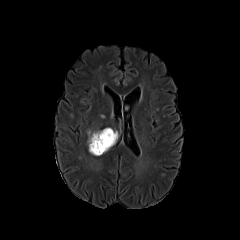
FLAIR magnetic resonance.
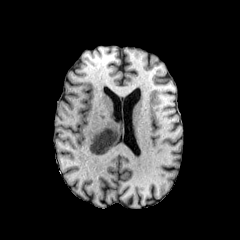
T1-weighted MRI.
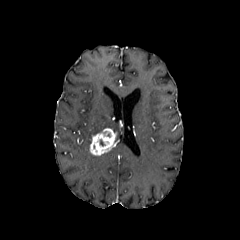
Post-contrast T1-weighted magnetic resonance.
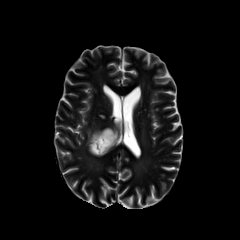
Same slice, T2-weighted magnetic resonance.
Brain; Axial view; Image size 240x240
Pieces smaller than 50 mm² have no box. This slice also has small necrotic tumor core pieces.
The largest peritumoral edema region lies within (x1=87, y1=129, x2=102, y2=151). The enhancing tumor appears at (x1=90, y1=128, x2=116, y2=155).